Axial slice. Image covers 240 mm x 240 mm.
FLAIR MR image.
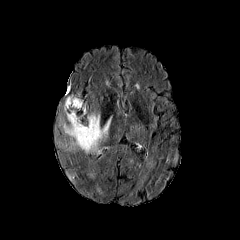
T1-weighted magnetic resonance.
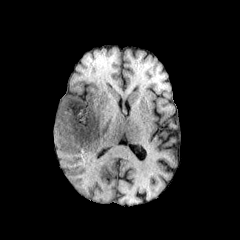
Post-contrast T1-weighted MR image.
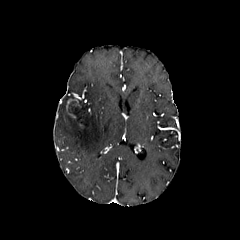
T2-weighted MR image.
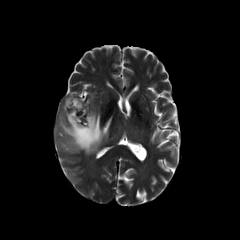
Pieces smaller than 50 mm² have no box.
Segmented structures:
• enhancing tumor: x1=66, y1=98, x2=81, y2=111
• peritumoral edema: x1=59, y1=96, x2=111, y2=154
• necrotic tumor core: x1=68, y1=101, x2=85, y2=124